FLAIR magnetic resonance.
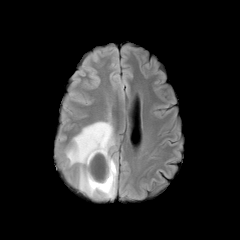
T1-weighted MR image.
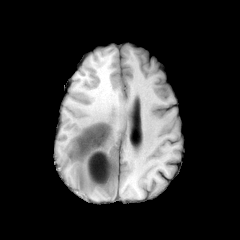
Post-contrast T1-weighted MR.
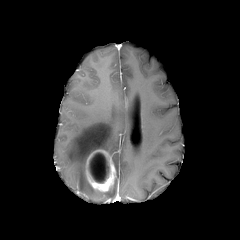
T2-weighted MR.
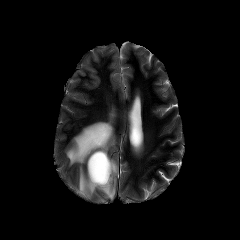
Head
peritumoral edema: [x1=66, y1=121, x2=117, y2=198] | enhancing tumor: [x1=86, y1=149, x2=115, y2=191] | necrotic tumor core: [x1=89, y1=152, x2=109, y2=182]